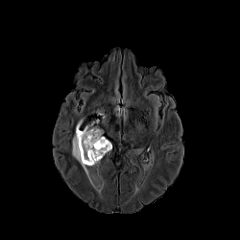
FLAIR magnetic resonance.
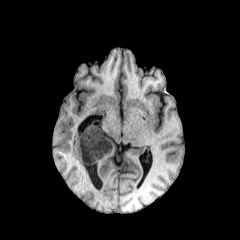
T1-weighted MR of the same slice.
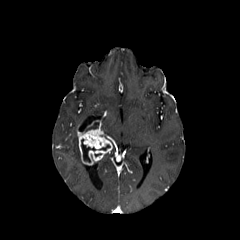
Post-contrast T1-weighted MRI of the same slice.
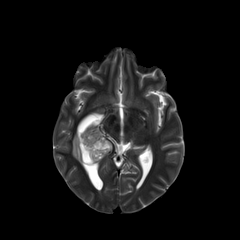
T2-weighted magnetic resonance of the same slice.
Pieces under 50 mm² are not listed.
necrotic tumor core = (x1=81, y1=139, x2=95, y2=162)
enhancing tumor = (x1=77, y1=128, x2=112, y2=165)
peritumoral edema = (x1=72, y1=119, x2=100, y2=169)